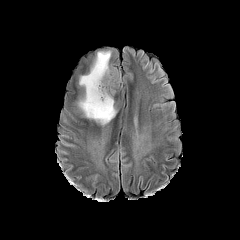
FLAIR MR.
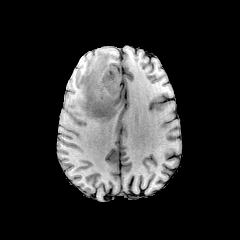
T1-weighted MRI of the same slice.
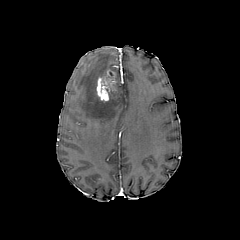
Post-contrast T1-weighted magnetic resonance.
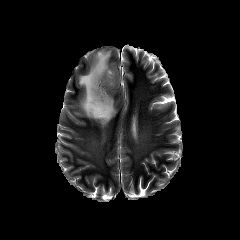
T2-weighted magnetic resonance of the same slice.
Axial view; Head
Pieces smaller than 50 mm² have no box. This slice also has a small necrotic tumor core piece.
The enhancing tumor is bounded by 96, 70, 116, 100. The largest peritumoral edema region appears at 78, 50, 117, 126.